FLAIR MRI.
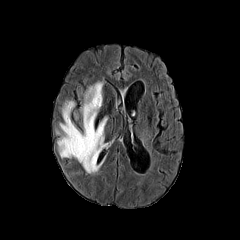
T1-weighted magnetic resonance.
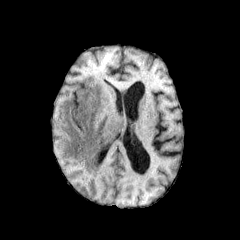
Post-contrast T1-weighted MR.
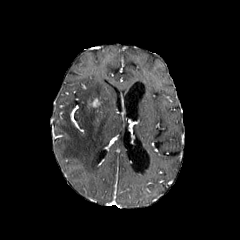
T2-weighted MR.
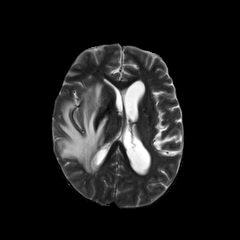
Brain
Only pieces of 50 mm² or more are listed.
enhancing tumor: bounding box 89, 98, 99, 107
peritumoral edema: bounding box 57, 82, 107, 173